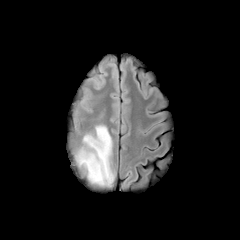
FLAIR MR.
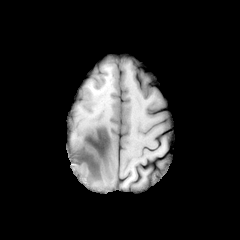
T1-weighted magnetic resonance.
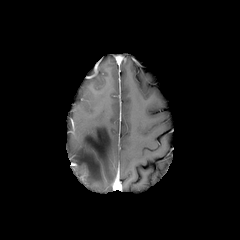
Same slice, post-contrast T1-weighted MR image.
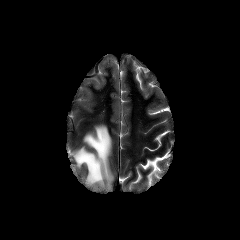
T2-weighted MR image.
Image size 240x240 | Brain
- peritumoral edema: (left=75, top=125, right=114, bottom=186)